Axial plane. Slice 124 of 155.
FLAIR MR image.
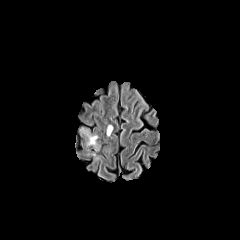
T1-weighted magnetic resonance.
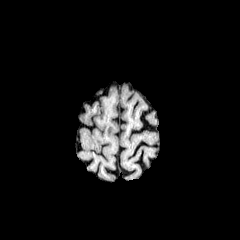
Post-contrast T1-weighted magnetic resonance.
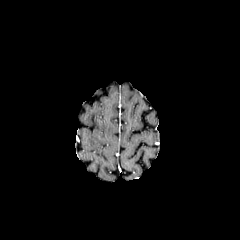
T2-weighted MR.
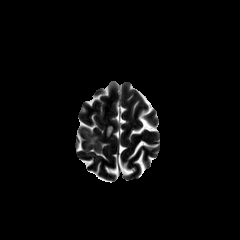
Segmented structures:
- peritumoral edema: box=[81, 129, 97, 146]; box=[107, 125, 112, 136]